FLAIR MRI.
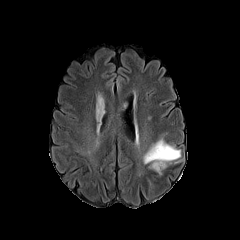
T1-weighted MRI.
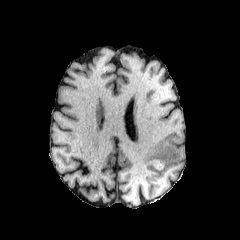
Post-contrast T1-weighted MRI.
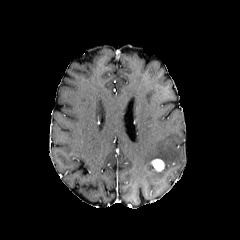
T2-weighted magnetic resonance.
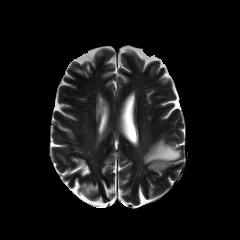
Image size 240x240
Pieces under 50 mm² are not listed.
<segmentation>
  <peritumoral_edema>bbox(143, 137, 180, 167)</peritumoral_edema>
  <enhancing_tumor>bbox(151, 159, 164, 171)</enhancing_tumor>
</segmentation>